FLAIR MR.
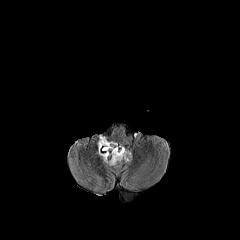
T1-weighted magnetic resonance.
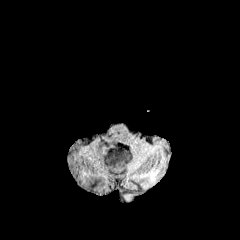
Post-contrast T1-weighted MR image.
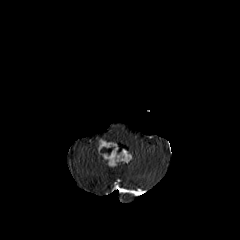
T2-weighted MR.
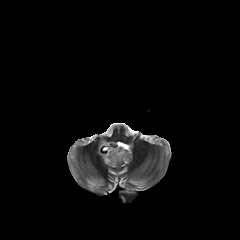
Image size 240x240 | Axial plane | Head
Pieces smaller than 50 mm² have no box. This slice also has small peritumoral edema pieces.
necrotic tumor core — 100:147:114:154
enhancing tumor — 98:139:131:166